Axial plane | Slice 133 of 155
FLAIR MRI.
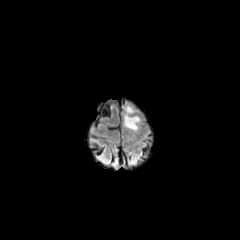
T1-weighted magnetic resonance.
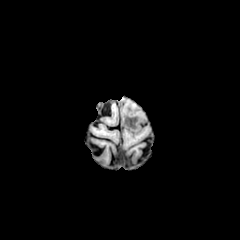
Post-contrast T1-weighted magnetic resonance.
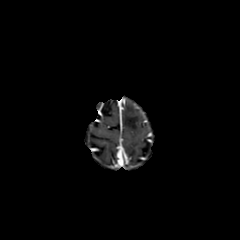
T2-weighted MR image.
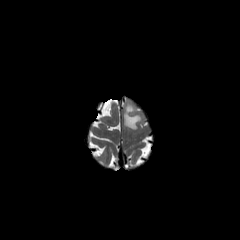
{"peritumoral_edema": ["box=[124, 104, 141, 130]"]}